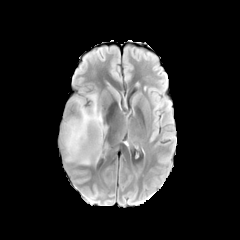
FLAIR MRI.
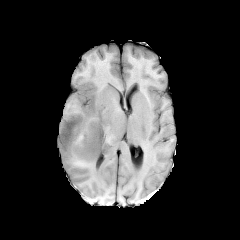
T1-weighted magnetic resonance.
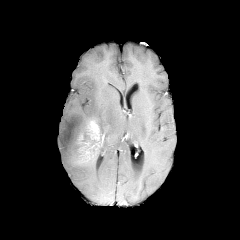
Same slice, post-contrast T1-weighted MRI.
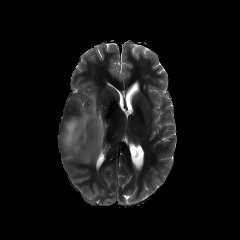
T2-weighted MR image.
240x240
enhancing_tumor:
  - 78:120:104:161
peritumoral_edema:
  - 61:93:107:164